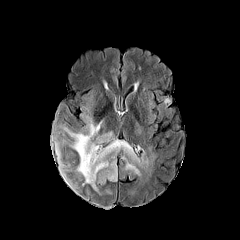
FLAIR magnetic resonance.
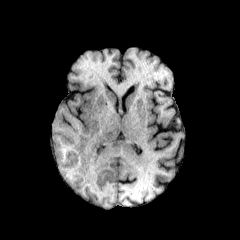
T1-weighted MR.
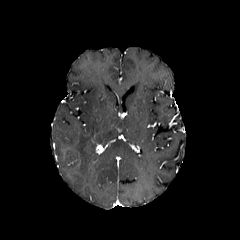
Same slice, post-contrast T1-weighted magnetic resonance.
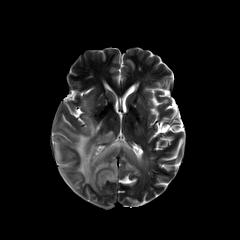
T2-weighted magnetic resonance.
Axial plane; Brain
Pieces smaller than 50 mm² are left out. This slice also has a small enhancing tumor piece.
- peritumoral edema: <box>97,132,112,143</box>, <box>99,161,117,184</box>, <box>55,99,141,191</box>, <box>125,161,139,174</box>